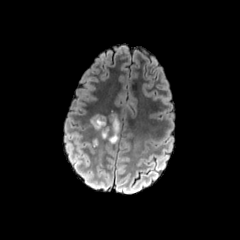
FLAIR MR image.
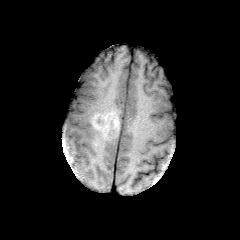
T1-weighted magnetic resonance.
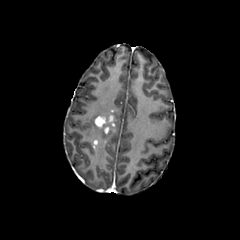
Post-contrast T1-weighted MR of the same slice.
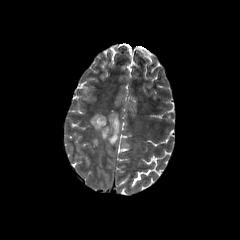
T2-weighted magnetic resonance of the same slice.
Head
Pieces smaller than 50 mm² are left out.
<segmentation>
  <enhancing_tumor>94,115,116,134</enhancing_tumor>
  <peritumoral_edema>99,148,104,165; 90,112,119,143</peritumoral_edema>
</segmentation>